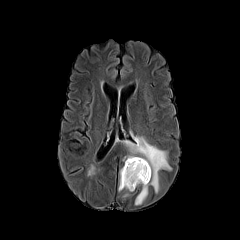
FLAIR MR image.
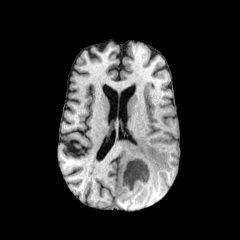
T1-weighted MR.
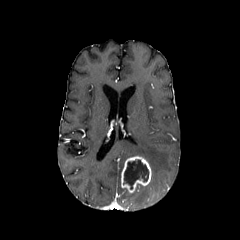
Same slice, post-contrast T1-weighted MRI.
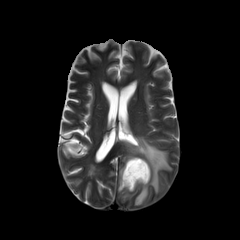
T2-weighted MR image.
Axial view
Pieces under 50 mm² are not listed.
<segmentation>
  <enhancing_tumor>l=121, t=156, r=151, b=192</enhancing_tumor>
  <peritumoral_edema>l=118, t=168, r=128, b=197; l=123, t=136, r=171, b=205</peritumoral_edema>
  <necrotic_tumor_core>l=123, t=160, r=148, b=189</necrotic_tumor_core>
</segmentation>